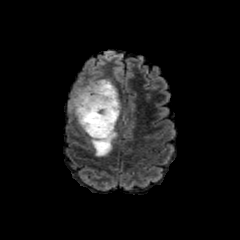
FLAIR magnetic resonance.
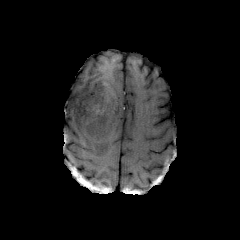
T1-weighted MR of the same slice.
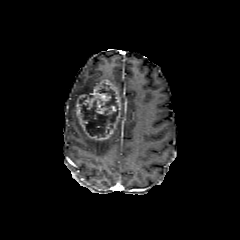
Same slice, post-contrast T1-weighted MR image.
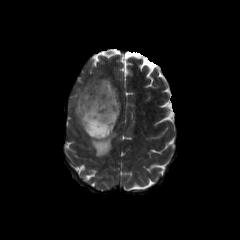
T2-weighted MR of the same slice.
Brain.
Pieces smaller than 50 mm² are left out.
enhancing tumor — (75, 79, 120, 141)
necrotic tumor core — (81, 83, 118, 137)
peritumoral edema — (89, 129, 117, 156), (68, 78, 104, 126)